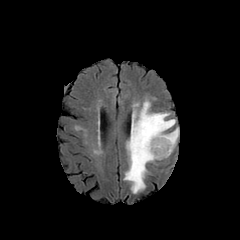
FLAIR MR.
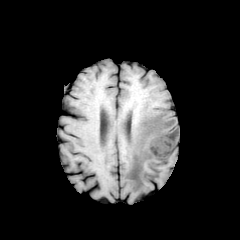
Same slice, T1-weighted MR image.
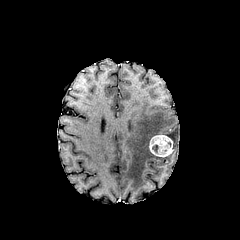
Post-contrast T1-weighted MR.
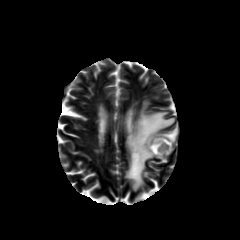
T2-weighted MR image of the same slice.
Axial slice | 240x240 px
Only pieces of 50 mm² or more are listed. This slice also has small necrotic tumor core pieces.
enhancing_tumor:
  - x1=149 y1=134 x2=173 y2=157
peritumoral_edema:
  - x1=124 y1=100 x2=179 y2=193